FLAIR MR image.
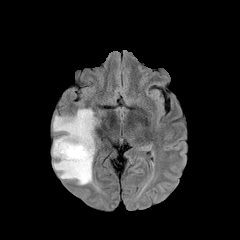
T1-weighted MR.
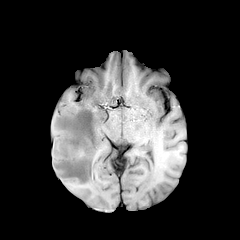
Post-contrast T1-weighted MRI.
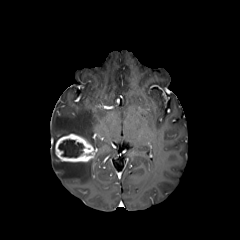
T2-weighted MR image.
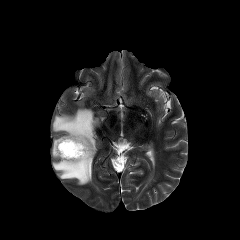
Axial slice; 240x240; Brain
2 peritumoral edema regions are located at x1=53 y1=108 x2=98 y2=147, x1=52 y1=137 x2=93 y2=184. The necrotic tumor core is located at x1=58 y1=139 x2=83 y2=157. The enhancing tumor is at x1=55 y1=133 x2=96 y2=162.